Slice index 100. Image width 240 mm, 1.00 mm slice spacing. Brain.
FLAIR MR image.
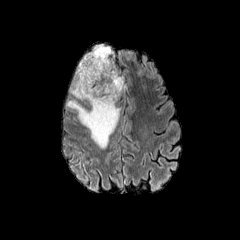
T1-weighted MR.
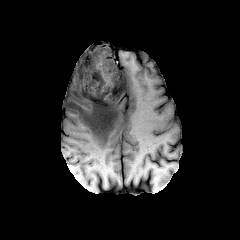
Post-contrast T1-weighted MR.
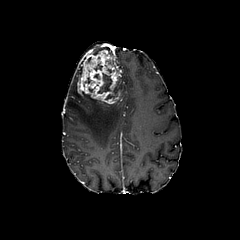
T2-weighted magnetic resonance.
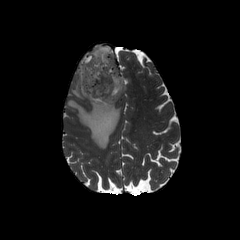
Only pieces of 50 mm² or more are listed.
The enhancing tumor is located at box=[77, 49, 121, 105]. The 2 largest peritumoral edema regions are bounded by box=[66, 44, 120, 148]; box=[120, 75, 126, 94]. The 2 largest necrotic tumor core regions appear at box=[98, 73, 111, 93]; box=[105, 87, 117, 99].